FLAIR MR image.
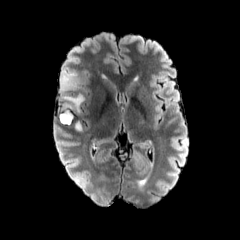
T1-weighted MR image.
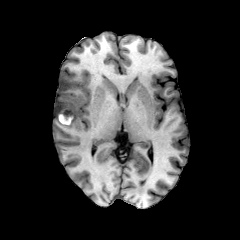
Post-contrast T1-weighted magnetic resonance.
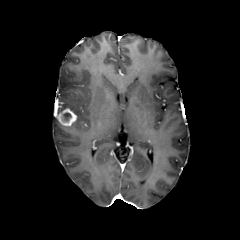
T2-weighted MRI.
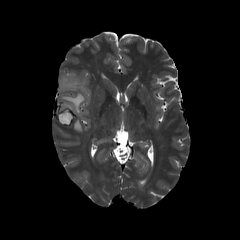
Brain
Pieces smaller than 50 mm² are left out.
necrotic_tumor_core:
  - <box>63,113,71,120</box>
enhancing_tumor:
  - <box>57,108,76,125</box>
peritumoral_edema:
  - <box>59,69,84,112</box>